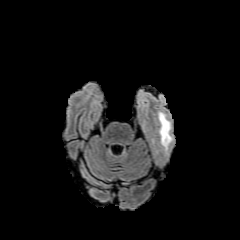
FLAIR MR.
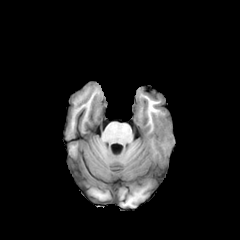
T1-weighted MR image.
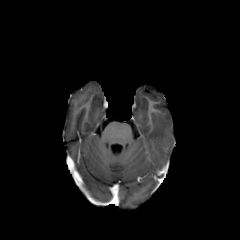
Post-contrast T1-weighted MR.
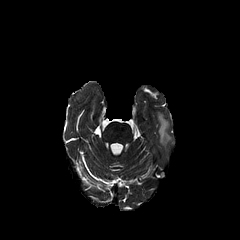
T2-weighted MRI.
Head; Axial view
peritumoral edema at bbox=[158, 112, 172, 147]